Axial slice. Image size 240x240. Slice index 47. Brain.
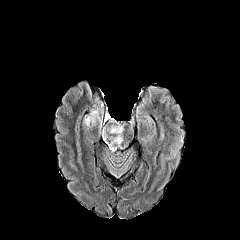
FLAIR MR.
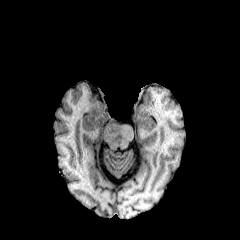
Same slice, T1-weighted MR.
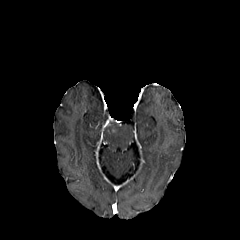
Post-contrast T1-weighted MRI.
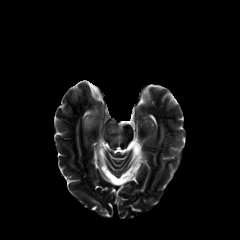
T2-weighted MRI of the same slice.
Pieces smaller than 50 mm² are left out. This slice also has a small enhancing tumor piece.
{
  "peritumoral_edema": [
    "x1=83 y1=104 x2=103 y2=129",
    "x1=103 y1=124 x2=123 y2=149"
  ]
}